FLAIR MR.
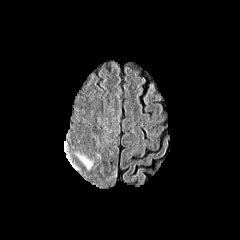
T1-weighted MRI.
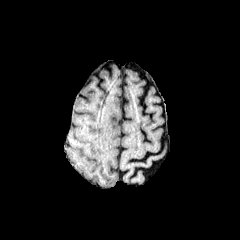
Post-contrast T1-weighted MR.
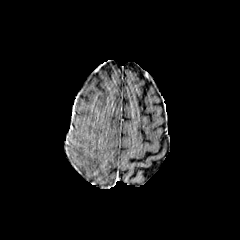
T2-weighted MR image.
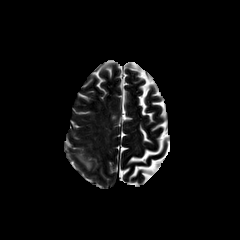
Brain; Axial plane
The peritumoral edema lies within <bbox>78, 155, 92, 168</bbox>.